Slice 84 of 155 | 240x240 | Image width 240 mm, 1.00 mm slice spacing | Axial plane
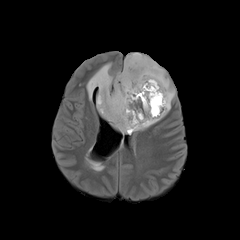
FLAIR MRI.
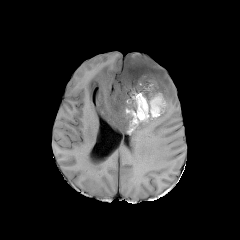
T1-weighted MR image of the same slice.
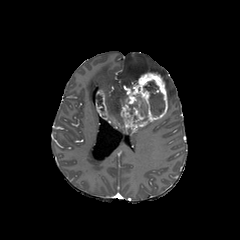
Same slice, post-contrast T1-weighted MRI.
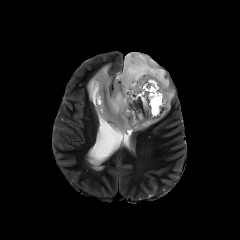
T2-weighted MRI of the same slice.
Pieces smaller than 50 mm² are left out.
- peritumoral edema: (left=138, top=120, right=159, bottom=130), (left=87, top=52, right=175, bottom=117)
- enhancing tumor: (left=96, top=72, right=167, bottom=133)
- necrotic tumor core: (left=129, top=95, right=147, bottom=121), (left=143, top=81, right=164, bottom=116)